FLAIR MR image.
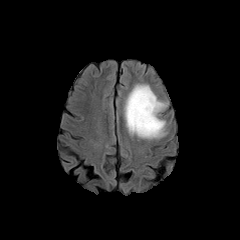
T1-weighted MR.
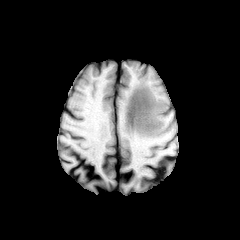
Post-contrast T1-weighted MR image.
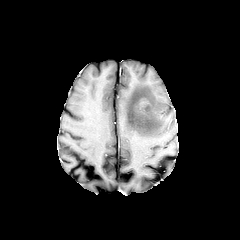
T2-weighted MR image.
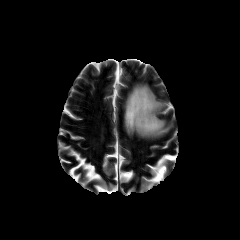
Brain | 240x240 | Axial plane
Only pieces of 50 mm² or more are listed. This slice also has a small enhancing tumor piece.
peritumoral edema at <box>124,84,167,138</box>